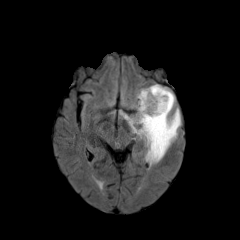
FLAIR MR.
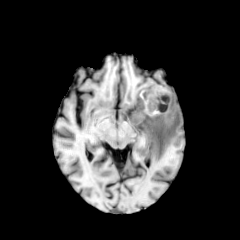
Same slice, T1-weighted MR image.
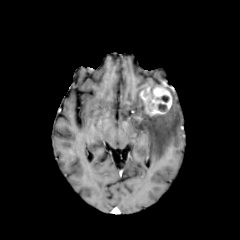
Post-contrast T1-weighted magnetic resonance.
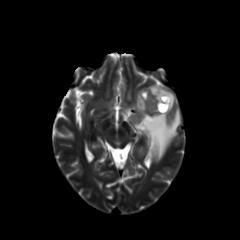
T2-weighted MR.
240x240 px
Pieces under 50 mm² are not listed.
The largest necrotic tumor core region is located at (x1=157, y1=103, x2=166, y2=111). The enhancing tumor lies within (x1=138, y1=86, x2=171, y2=117). The largest peritumoral edema region is at (x1=131, y1=95, x2=180, y2=160).